Slice 43/155, Brain
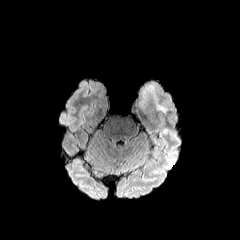
FLAIR magnetic resonance.
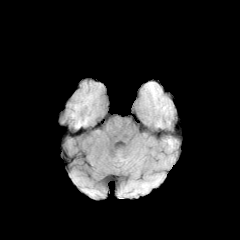
T1-weighted MRI.
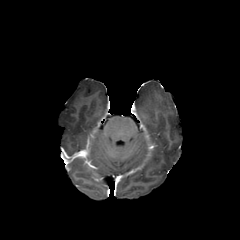
Post-contrast T1-weighted MRI.
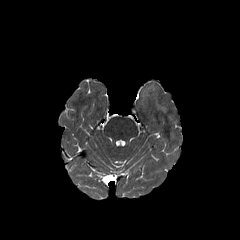
T2-weighted magnetic resonance.
Annotated regions:
- peritumoral edema: bbox(139, 84, 166, 114)